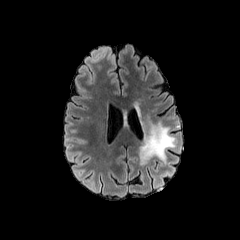
FLAIR MR.
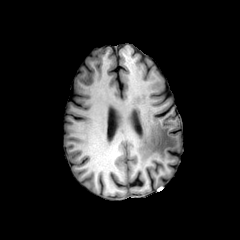
Same slice, T1-weighted MR image.
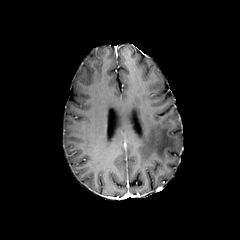
Post-contrast T1-weighted MR image.
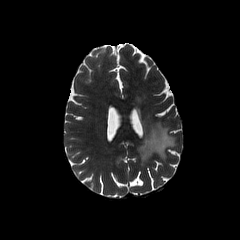
T2-weighted MR.
Findings:
- peritumoral edema: box=[139, 121, 176, 162]